Image width 240 mm | Slice 50/155 | Axial plane | Head
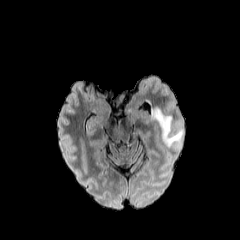
FLAIR MR image.
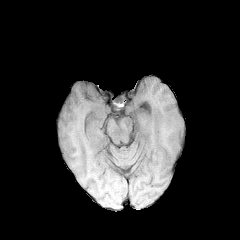
T1-weighted MR image.
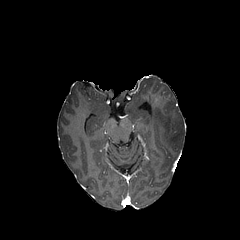
Same slice, post-contrast T1-weighted MRI.
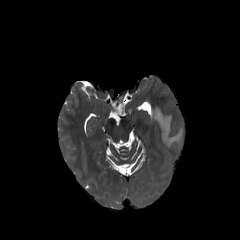
T2-weighted magnetic resonance of the same slice.
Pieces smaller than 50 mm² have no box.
Findings:
- peritumoral edema: (150,107,183,149)